Slice 68/155. 240x240 px. Brain.
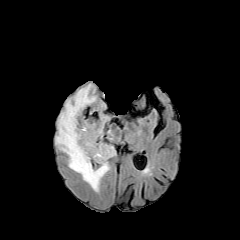
FLAIR MRI.
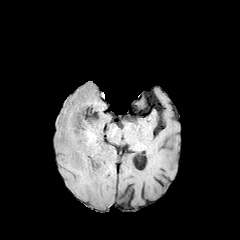
T1-weighted MRI.
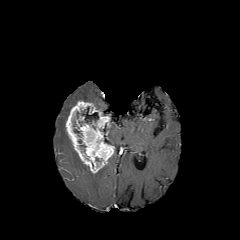
Post-contrast T1-weighted MR image of the same slice.
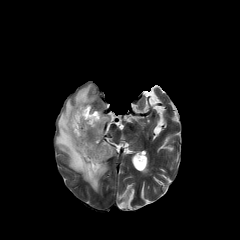
T2-weighted MR image.
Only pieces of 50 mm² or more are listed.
{"necrotic_tumor_core": ["81, 107, 98, 123"], "peritumoral_edema": ["55, 83, 109, 192"], "enhancing_tumor": ["65, 101, 114, 173"]}